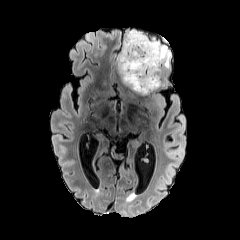
FLAIR MRI.
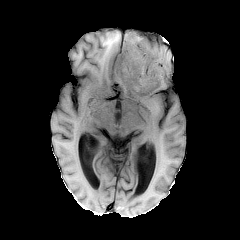
T1-weighted MR image of the same slice.
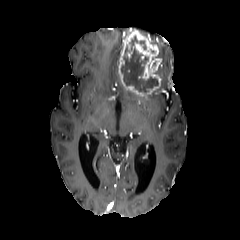
Same slice, post-contrast T1-weighted MR image.
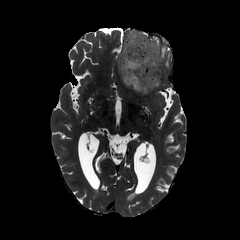
T2-weighted magnetic resonance.
240x240
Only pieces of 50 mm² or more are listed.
necrotic tumor core: {"x1": 120, "y1": 49, "x2": 158, "y2": 93} | peritumoral edema: {"x1": 150, "y1": 37, "x2": 170, "y2": 68} | enhancing tumor: {"x1": 118, "y1": 30, "x2": 161, "y2": 96}